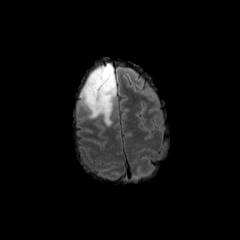
FLAIR MR image.
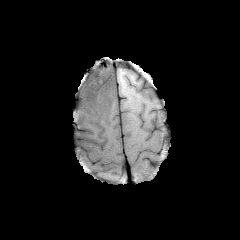
Same slice, T1-weighted MR image.
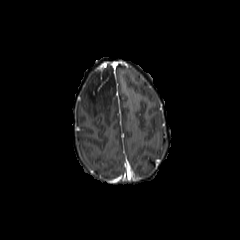
Post-contrast T1-weighted MR of the same slice.
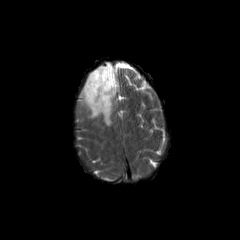
T2-weighted MR.
Head
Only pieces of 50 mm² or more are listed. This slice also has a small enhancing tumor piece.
peritumoral_edema:
  - {"x1": 79, "y1": 63, "x2": 116, "y2": 126}